Image covers 240 mm x 240 mm; 240x240
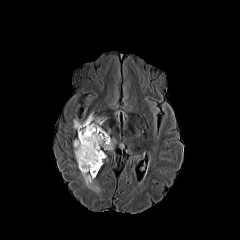
FLAIR magnetic resonance.
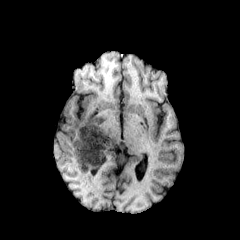
T1-weighted MRI.
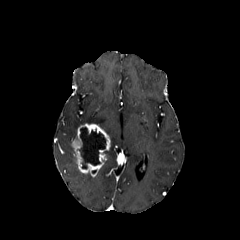
Same slice, post-contrast T1-weighted MRI.
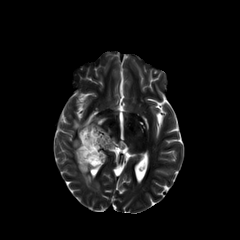
T2-weighted MRI.
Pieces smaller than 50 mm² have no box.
The enhancing tumor is located at [72, 123, 110, 177]. The largest necrotic tumor core region appears at [79, 127, 105, 168]. The 2 largest peritumoral edema regions appear at [81, 173, 99, 191], [73, 113, 105, 130].